Image size 240x240
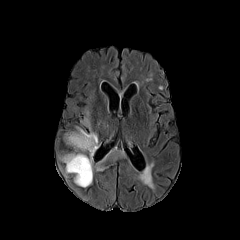
FLAIR MR.
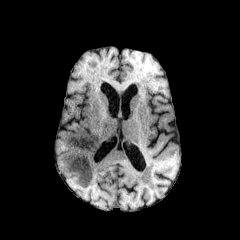
T1-weighted magnetic resonance.
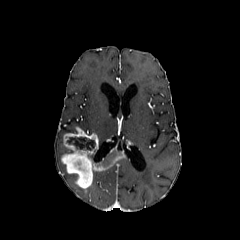
Post-contrast T1-weighted MRI of the same slice.
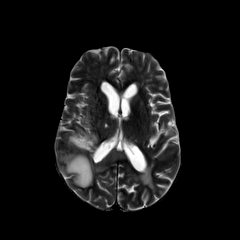
Same slice, T2-weighted MR image.
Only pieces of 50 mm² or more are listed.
necrotic tumor core: [x1=67, y1=137, x2=95, y2=150]
peritumoral edema: [x1=79, y1=114, x2=94, y2=134]
enhancing tumor: [x1=61, y1=127, x2=126, y2=188]